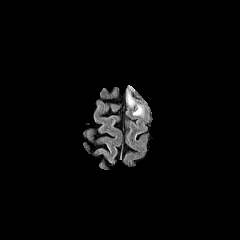
FLAIR MR.
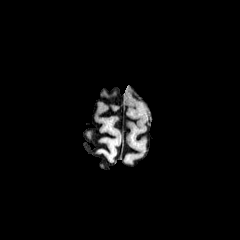
T1-weighted magnetic resonance.
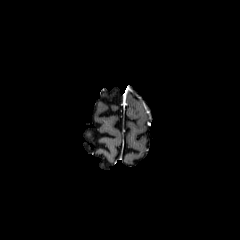
Post-contrast T1-weighted MR image.
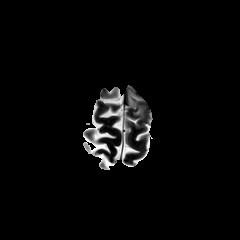
T2-weighted MRI.
Image size 240x240; Axial plane
peritumoral edema = 128:94:134:105, 133:105:142:115